Slice 37/155. Image covers 240 mm x 240 mm. Brain.
FLAIR MR.
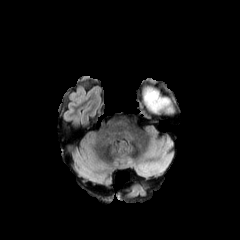
T1-weighted magnetic resonance.
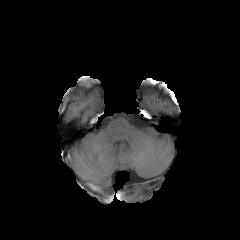
Post-contrast T1-weighted MR.
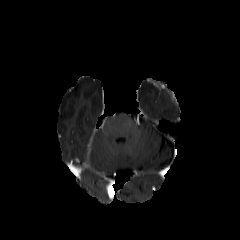
T2-weighted MR image.
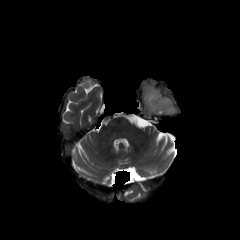
Segmented structures:
- peritumoral edema: box=[143, 88, 175, 114]